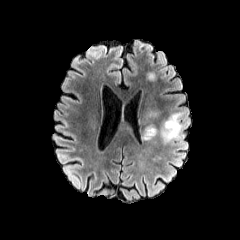
FLAIR MR image.
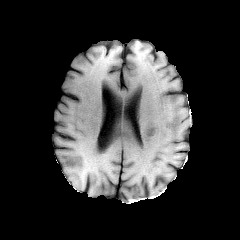
Same slice, T1-weighted MR.
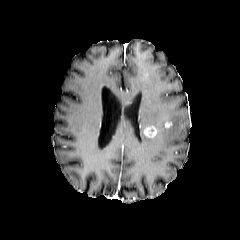
Post-contrast T1-weighted MR image.
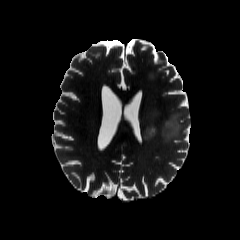
T2-weighted magnetic resonance.
Image size 240x240; Axial slice
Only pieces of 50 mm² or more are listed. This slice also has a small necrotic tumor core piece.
<segmentation>
  <enhancing_tumor>{"x1": 144, "y1": 126, "x2": 156, "y2": 137}</enhancing_tumor>
  <peritumoral_edema>{"x1": 143, "y1": 112, "x2": 185, "y2": 143}, {"x1": 142, "y1": 111, "x2": 162, "y2": 123}, {"x1": 147, "y1": 72, "x2": 155, "y2": 79}</peritumoral_edema>
</segmentation>